240x240 px, Image covers 240 mm x 240 mm, Slice 75 of 155, Axial view
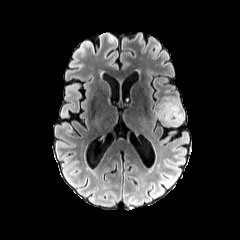
FLAIR MR image.
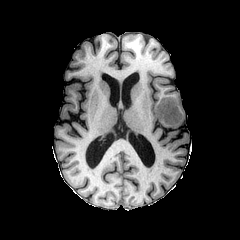
Same slice, T1-weighted MRI.
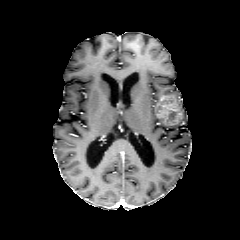
Same slice, post-contrast T1-weighted magnetic resonance.
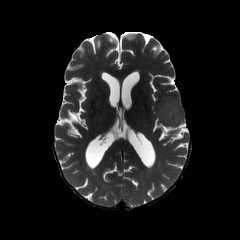
T2-weighted MR image.
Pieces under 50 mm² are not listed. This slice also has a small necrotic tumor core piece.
The largest peritumoral edema region appears at (left=174, top=97, right=184, bottom=124). The enhancing tumor is located at (left=156, top=96, right=182, bottom=124).